Slice 42/155; Image width 240 mm, 1.00 mm slice spacing; Axial plane
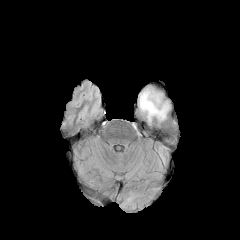
FLAIR MR.
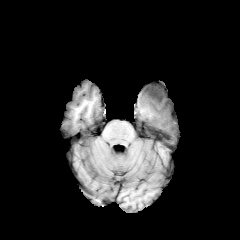
T1-weighted MRI of the same slice.
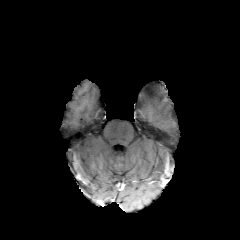
Post-contrast T1-weighted MR of the same slice.
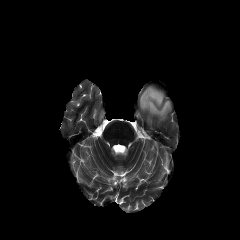
T2-weighted magnetic resonance.
The peritumoral edema is at bbox=[138, 86, 170, 122]. The necrotic tumor core is at bbox=[148, 89, 161, 100].